240x240 px | Image covers 240 mm x 240 mm
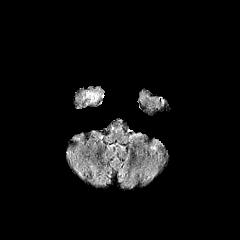
FLAIR MR.
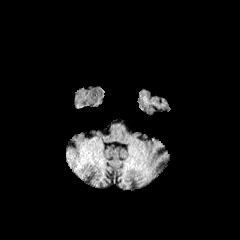
Same slice, T1-weighted MR.
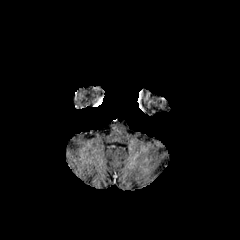
Post-contrast T1-weighted MR.
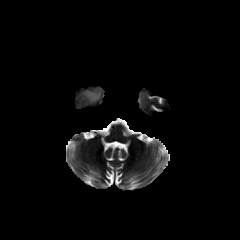
Same slice, T2-weighted MR.
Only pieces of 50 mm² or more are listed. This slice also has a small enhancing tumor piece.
peritumoral edema = box(86, 91, 100, 102)